Axial slice. Head.
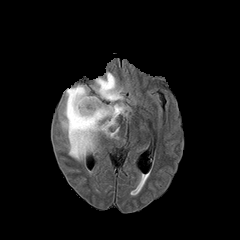
FLAIR MRI.
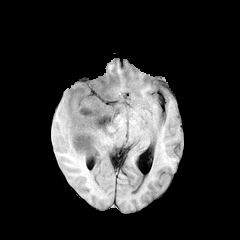
T1-weighted MR image.
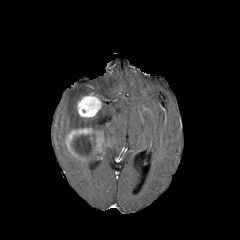
Same slice, post-contrast T1-weighted MR image.
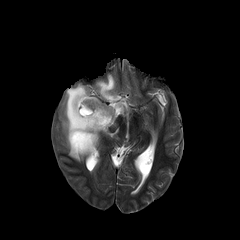
Same slice, T2-weighted MRI.
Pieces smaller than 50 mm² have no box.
enhancing tumor: [66,127,101,157], [76,93,102,118]
peritumoral edema: [68,149,88,161], [89,135,96,154], [60,72,129,139]
necrotic tumor core: [72,142,93,153]